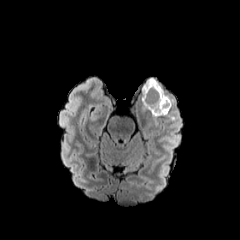
FLAIR MR.
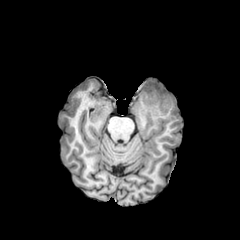
T1-weighted MR image.
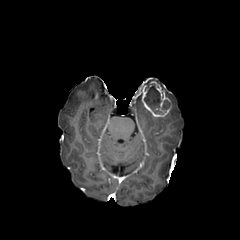
Same slice, post-contrast T1-weighted magnetic resonance.
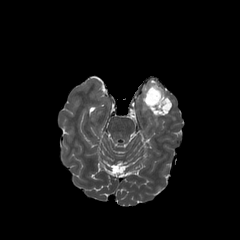
T2-weighted MR image.
Brain; 240x240
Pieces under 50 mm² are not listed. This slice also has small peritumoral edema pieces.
necrotic_tumor_core:
  - x1=162 y1=100 x2=169 y2=109
  - x1=144 y1=83 x2=161 y2=113
enhancing_tumor:
  - x1=141 y1=78 x2=170 y2=116